FLAIR MR.
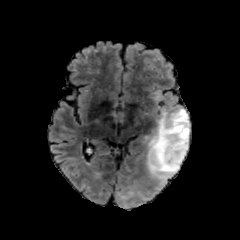
T1-weighted MR image.
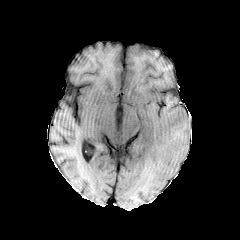
Post-contrast T1-weighted MR image.
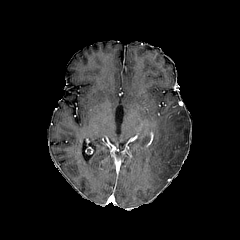
T2-weighted MRI.
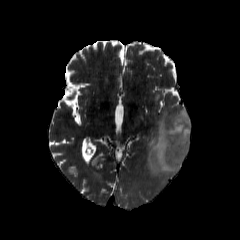
Axial view. Image size 240x240.
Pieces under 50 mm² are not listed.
The largest peritumoral edema region is at rect(146, 109, 190, 180).